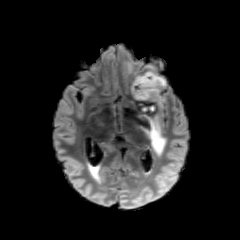
FLAIR MR image.
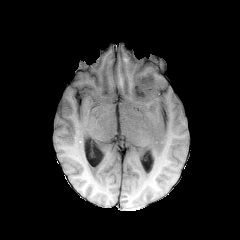
T1-weighted MR of the same slice.
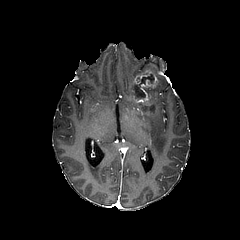
Post-contrast T1-weighted MR image.
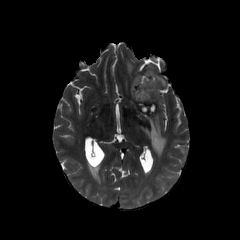
T2-weighted MR image.
Axial plane. Brain. 240x240.
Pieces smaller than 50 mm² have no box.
peritumoral edema at left=144, top=115, right=166, bottom=155; left=127, top=62, right=132, bottom=72; left=147, top=65, right=165, bottom=99
necrotic tumor core at left=134, top=74, right=154, bottom=98
enhancing tumor at left=133, top=70, right=158, bottom=102; left=141, top=104, right=154, bottom=111